FLAIR MR image.
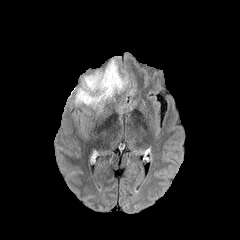
T1-weighted magnetic resonance.
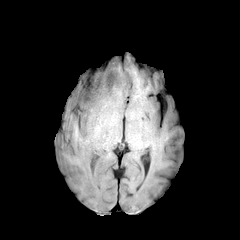
Post-contrast T1-weighted magnetic resonance.
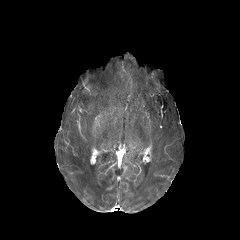
T2-weighted MR image.
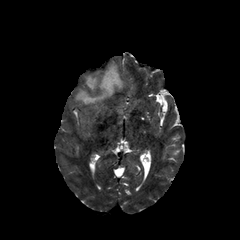
Axial view, Image size 240x240, Head
peritumoral_edema:
  - (left=75, top=61, right=127, bottom=111)